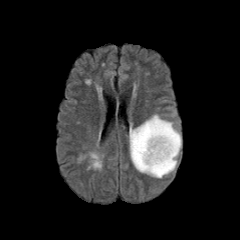
FLAIR MR.
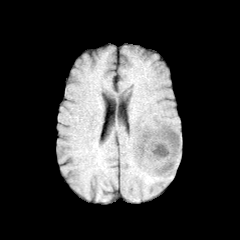
T1-weighted MR image of the same slice.
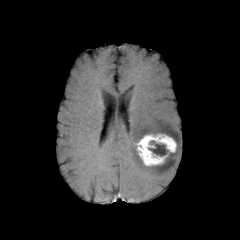
Post-contrast T1-weighted MRI.
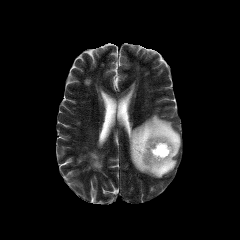
Same slice, T2-weighted magnetic resonance.
Brain; Axial view
• peritumoral edema: 129:114:181:178
• enhancing tumor: 135:133:177:166
• necrotic tumor core: 149:141:168:155